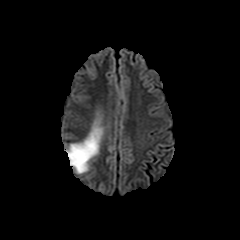
FLAIR magnetic resonance.
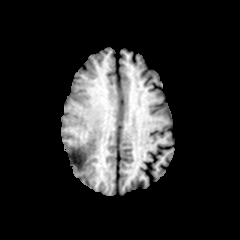
Same slice, T1-weighted MR.
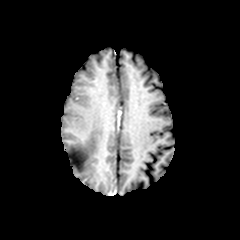
Same slice, post-contrast T1-weighted magnetic resonance.
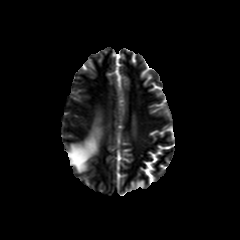
T2-weighted MRI.
Brain. Axial slice.
peritumoral edema: region(66, 119, 102, 173)